FLAIR MRI.
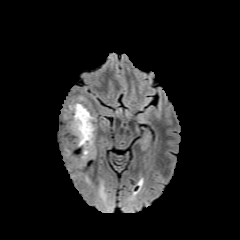
T1-weighted MR.
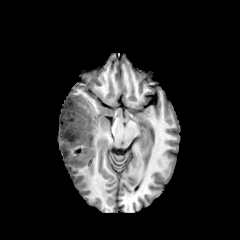
Post-contrast T1-weighted MRI.
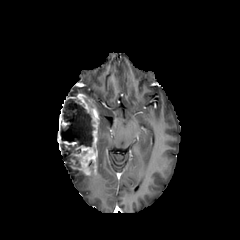
T2-weighted MR.
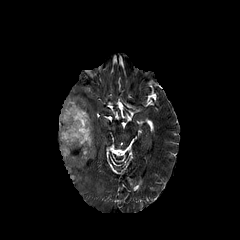
240x240 px. Axial view.
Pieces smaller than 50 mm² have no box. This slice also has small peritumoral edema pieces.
enhancing_tumor:
  - l=58, t=93, r=98, b=175
necrotic_tumor_core:
  - l=60, t=99, r=94, b=167